FLAIR magnetic resonance.
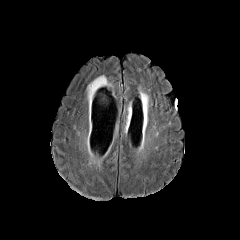
T1-weighted MR.
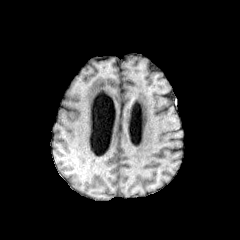
Post-contrast T1-weighted MRI.
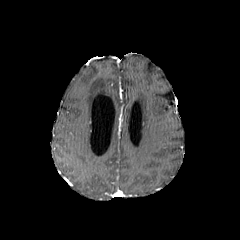
T2-weighted MRI.
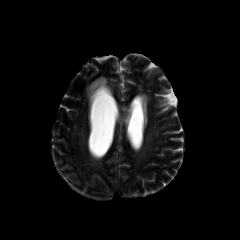
Image size 240x240, Head
peritumoral_edema:
  - 87, 76, 107, 100